FLAIR MRI.
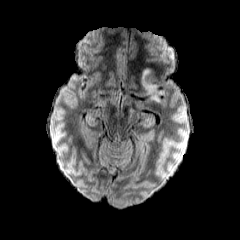
T1-weighted MR image.
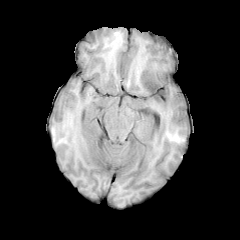
Post-contrast T1-weighted MR.
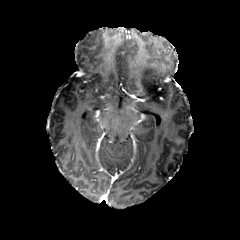
T2-weighted MR image.
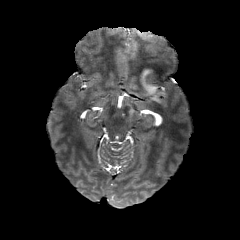
Brain
peritumoral edema: <box>141,67,164,102</box>